Head; Image size 240x240
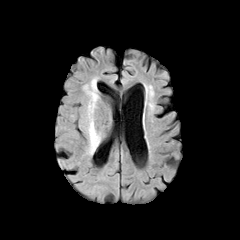
FLAIR magnetic resonance.
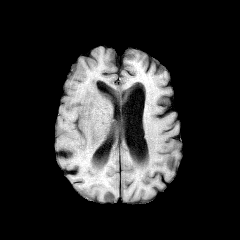
Same slice, T1-weighted MR.
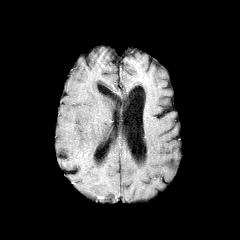
Same slice, post-contrast T1-weighted magnetic resonance.
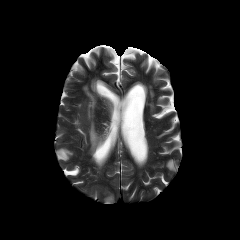
Same slice, T2-weighted magnetic resonance.
peritumoral edema: [x1=85, y1=85, x2=101, y2=154]